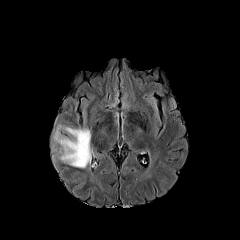
FLAIR magnetic resonance.
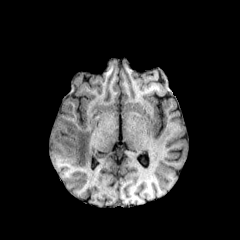
Same slice, T1-weighted MRI.
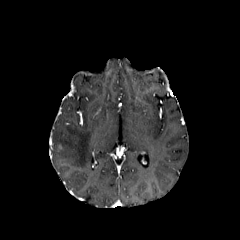
Post-contrast T1-weighted MRI.
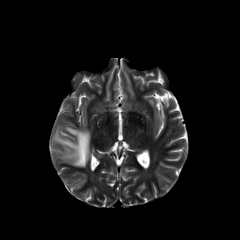
Same slice, T2-weighted MR image.
240x240
The peritumoral edema is located at 53,124,92,168.